Slice 93 of 155; Image width 240 mm
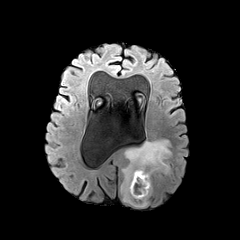
FLAIR MR image.
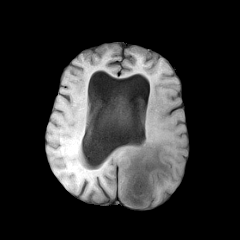
Same slice, T1-weighted MR image.
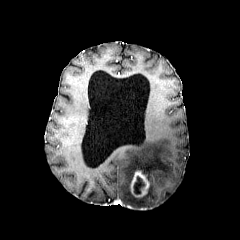
Post-contrast T1-weighted MR.
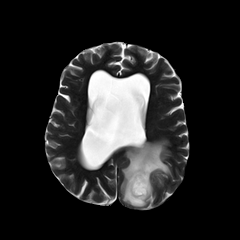
T2-weighted MR image of the same slice.
peritumoral edema: bounding box (x1=121, y1=139, x2=172, y2=206)
necrotic tumor core: bounding box (x1=134, y1=177, x2=144, y2=193)
enhancing tumor: bounding box (x1=130, y1=170, x2=149, y2=197)